FLAIR MR image.
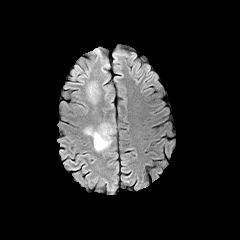
T1-weighted MR.
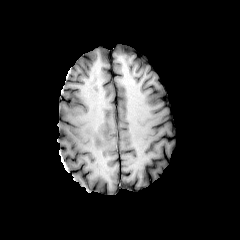
Post-contrast T1-weighted MR image.
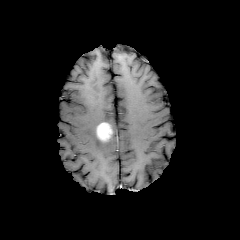
T2-weighted magnetic resonance.
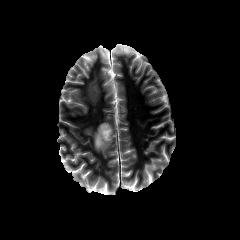
Axial view; Brain
peritumoral edema: box=[84, 121, 115, 151]; box=[86, 82, 99, 102] | enhancing tumor: box=[97, 122, 112, 141]